Slice 49 of 155, Axial slice
FLAIR magnetic resonance.
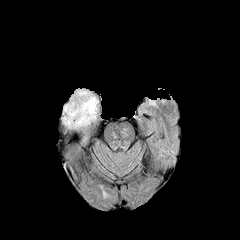
T1-weighted MRI.
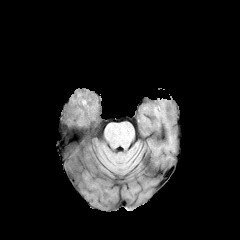
Post-contrast T1-weighted magnetic resonance.
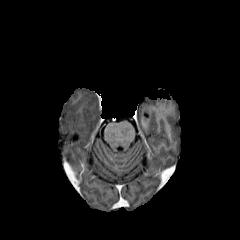
T2-weighted MR.
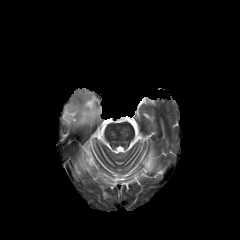
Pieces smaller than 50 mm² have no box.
Segmented structures:
• peritumoral edema: region(62, 90, 100, 128)